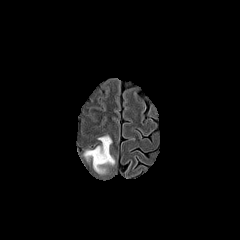
FLAIR MR.
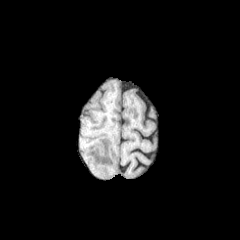
T1-weighted magnetic resonance.
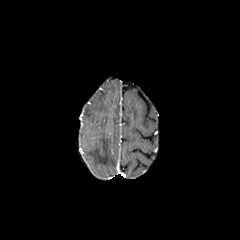
Post-contrast T1-weighted MRI.
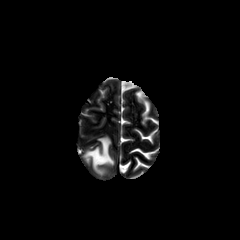
T2-weighted MR image of the same slice.
Axial view.
peritumoral edema — {"x1": 84, "y1": 135, "x2": 114, "y2": 173}